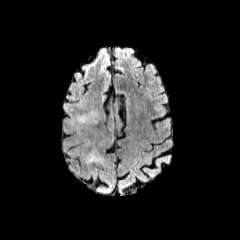
FLAIR MRI.
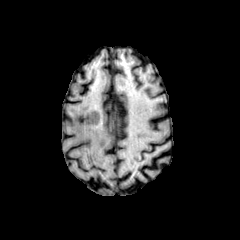
Same slice, T1-weighted MRI.
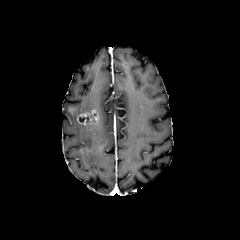
Same slice, post-contrast T1-weighted MR image.
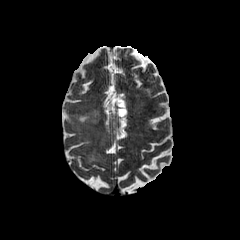
Same slice, T2-weighted MR image.
Axial view. Head.
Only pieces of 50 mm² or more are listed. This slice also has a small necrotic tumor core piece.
enhancing tumor = bbox=[77, 110, 99, 125]
peritumoral edema = bbox=[85, 150, 103, 163]